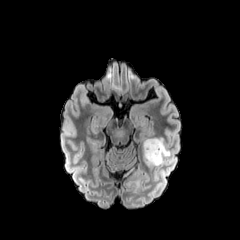
FLAIR MRI.
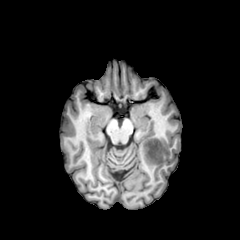
T1-weighted MR image.
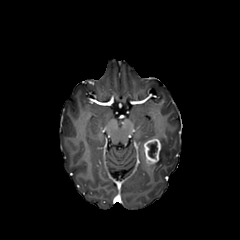
Same slice, post-contrast T1-weighted magnetic resonance.
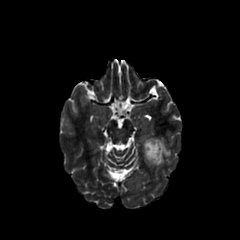
T2-weighted MRI.
Axial slice, 240x240
necrotic tumor core: 147, 141, 157, 158 | enhancing tumor: 144, 138, 161, 163 | peritumoral edema: 142, 137, 170, 165; 126, 180, 140, 192